FLAIR magnetic resonance.
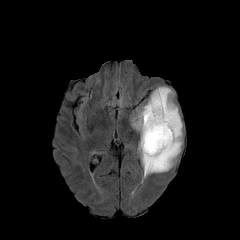
T1-weighted MRI.
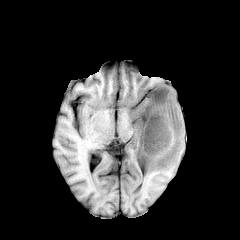
Post-contrast T1-weighted MR.
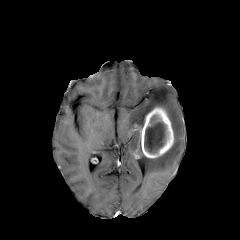
T2-weighted MRI.
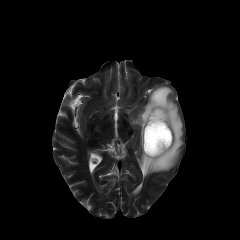
Image size 240x240, Axial slice
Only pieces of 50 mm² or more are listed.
peritumoral edema: [132, 86, 183, 177]
enhancing tumor: [138, 106, 173, 158]
necrotic tumor core: [144, 122, 166, 153]